Head, Slice 84/155, Image size 240x240, Axial slice
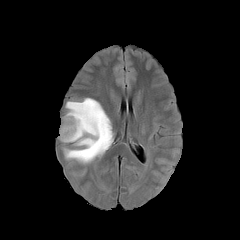
FLAIR magnetic resonance.
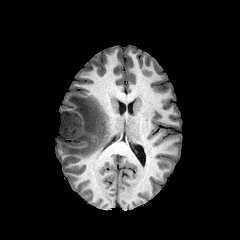
T1-weighted MR image of the same slice.
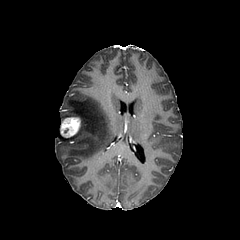
Post-contrast T1-weighted MRI.
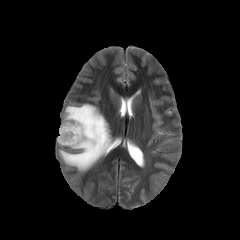
T2-weighted MRI.
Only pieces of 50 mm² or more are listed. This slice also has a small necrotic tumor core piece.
Annotated regions:
* enhancing tumor: x1=60 y1=117 x2=80 y2=137
* peritumoral edema: x1=58 y1=98 x2=112 y2=164